Axial plane; Brain
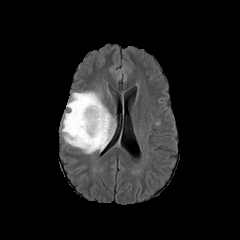
FLAIR MR.
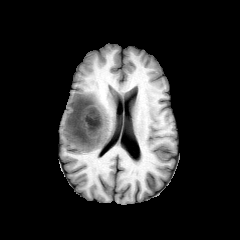
T1-weighted MR.
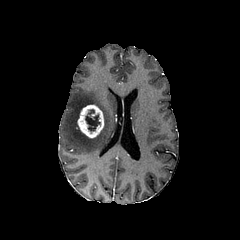
Post-contrast T1-weighted magnetic resonance.
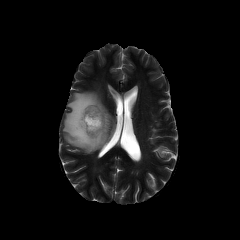
T2-weighted MR image of the same slice.
necrotic tumor core: bounding box <bbox>85, 109, 100, 130</bbox>
enhancing tumor: bounding box <bbox>77, 105, 104, 138</bbox>
peritumoral edema: bounding box <bbox>62, 91, 114, 153</bbox>